FLAIR magnetic resonance.
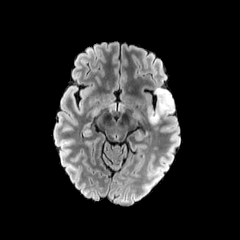
T1-weighted MRI.
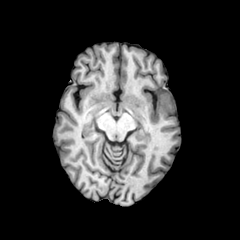
Post-contrast T1-weighted MRI.
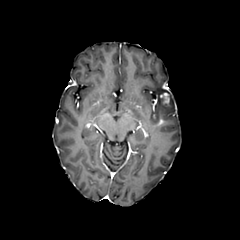
T2-weighted magnetic resonance.
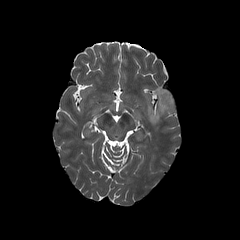
Brain.
Segmented structures:
* enhancing tumor: x1=159 y1=90 x2=172 y2=107
* peritumoral edema: x1=147 y1=87 x2=174 y2=125